Head. 240x240.
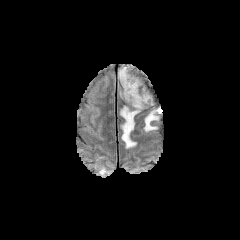
FLAIR magnetic resonance.
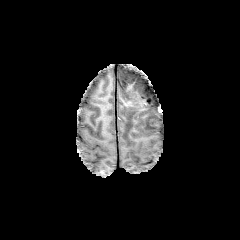
T1-weighted MR image.
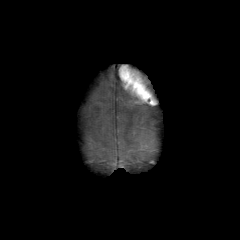
Post-contrast T1-weighted MR image.
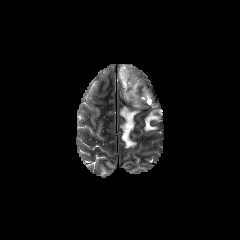
T2-weighted MRI.
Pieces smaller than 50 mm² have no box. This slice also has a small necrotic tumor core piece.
3 peritumoral edema regions appear at 121:107:137:147, 145:109:162:130, 122:88:159:108. The enhancing tumor is bounded by 118:65:158:104.